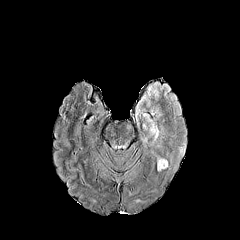
FLAIR MRI.
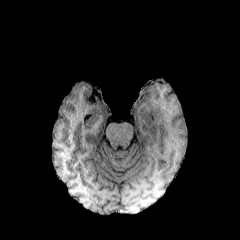
Same slice, T1-weighted MRI.
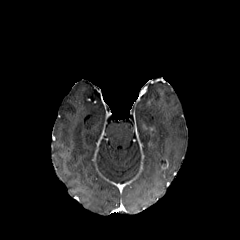
Post-contrast T1-weighted MR image.
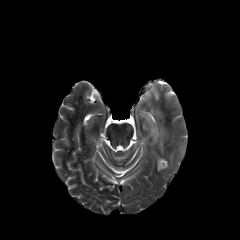
T2-weighted MRI of the same slice.
Axial view
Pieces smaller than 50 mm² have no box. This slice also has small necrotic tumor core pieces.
The largest enhancing tumor region is located at region(160, 158, 168, 168). The 2 largest peritumoral edema regions appear at region(179, 146, 185, 155); region(143, 113, 162, 171).